FLAIR MRI.
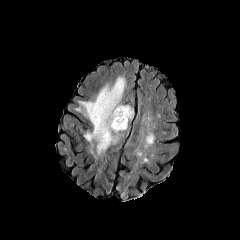
T1-weighted MR image.
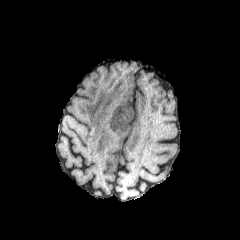
Post-contrast T1-weighted MRI.
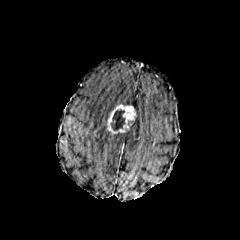
T2-weighted MR image.
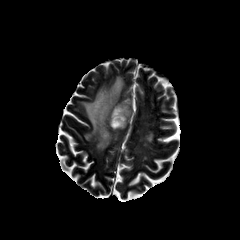
Head, Axial slice
Findings:
* enhancing tumor: 107,104,135,133
* peritumoral edema: 75,76,125,155
* necrotic tumor core: 111,110,124,130